FLAIR magnetic resonance.
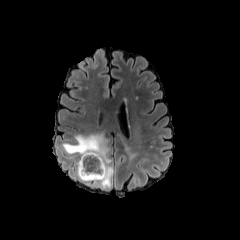
T1-weighted magnetic resonance.
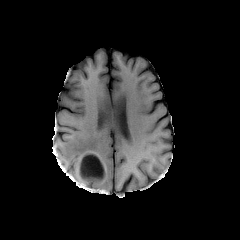
Post-contrast T1-weighted MRI.
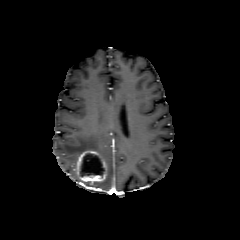
T2-weighted MR image.
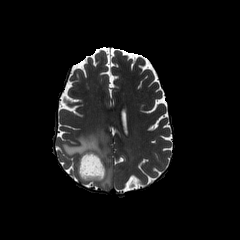
Brain.
The enhancing tumor is at 77 151 106 182. The necrotic tumor core is located at 80 153 104 176. 2 peritumoral edema regions are bounded by 62 131 113 189, 116 132 138 163.